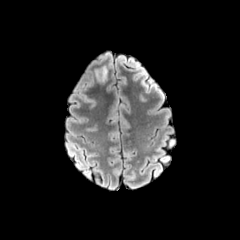
FLAIR MR image.
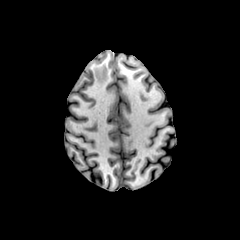
T1-weighted MR image of the same slice.
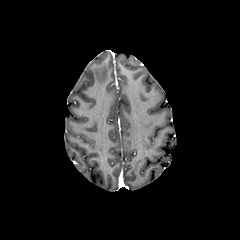
Post-contrast T1-weighted magnetic resonance of the same slice.
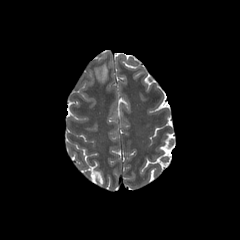
T2-weighted MR of the same slice.
Axial view | 240x240 px
* peritumoral edema: [96,66,107,81]